Axial slice. Image size 240x240. Brain.
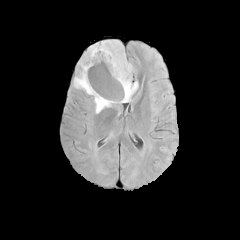
FLAIR MR image.
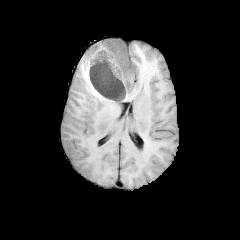
T1-weighted MR of the same slice.
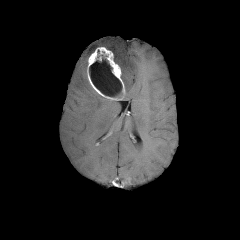
Post-contrast T1-weighted MR.
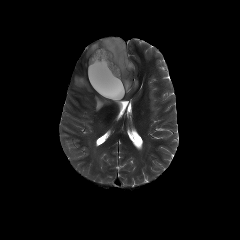
T2-weighted magnetic resonance.
The enhancing tumor is at <bbox>87, 47, 125, 100</bbox>. The necrotic tumor core lies within <bbox>89, 50, 122, 96</bbox>. The peritumoral edema appears at <bbox>74, 40, 137, 114</bbox>.